240x240 | Image covers 240 mm x 240 mm | Slice 38/155 | Head
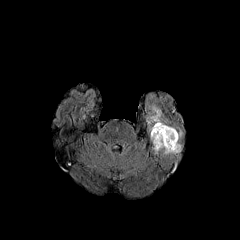
FLAIR MR image.
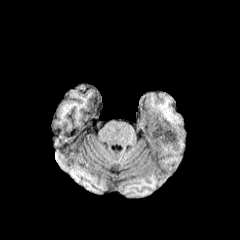
T1-weighted MRI of the same slice.
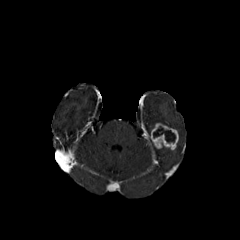
Same slice, post-contrast T1-weighted MR image.
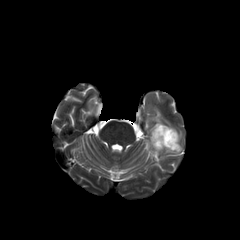
T2-weighted MRI.
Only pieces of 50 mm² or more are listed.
peritumoral edema = l=162, t=142, r=184, b=154; l=147, t=105, r=164, b=124
necrotic tumor core = l=153, t=126, r=175, b=142
enhancing tumor = l=150, t=123, r=178, b=150